Image width 240 mm | Axial view | 240x240 px | Brain
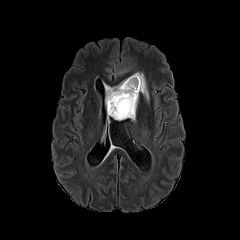
FLAIR MR.
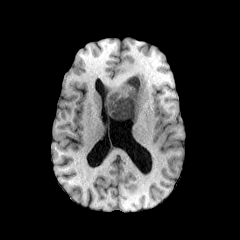
T1-weighted MR image.
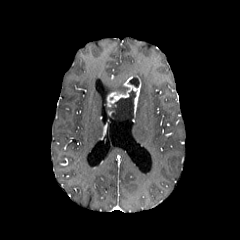
Post-contrast T1-weighted MR.
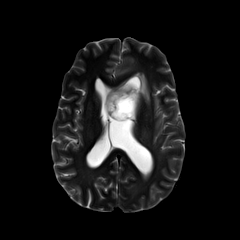
T2-weighted MRI.
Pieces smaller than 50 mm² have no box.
The 2 largest necrotic tumor core regions are located at (left=107, top=90, right=136, bottom=121), (left=129, top=77, right=139, bottom=87). 2 peritumoral edema regions are located at (left=133, top=72, right=149, bottom=101), (left=104, top=80, right=126, bottom=105). The largest enhancing tumor region appears at (left=107, top=75, right=140, bottom=121).